FLAIR MRI.
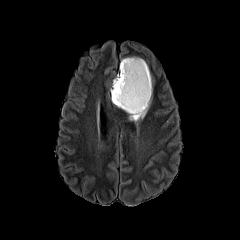
T1-weighted magnetic resonance.
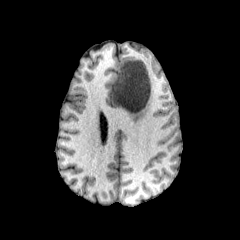
Post-contrast T1-weighted MR image.
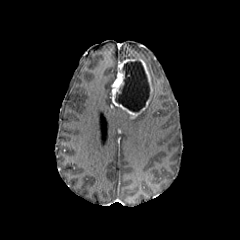
T2-weighted MR image.
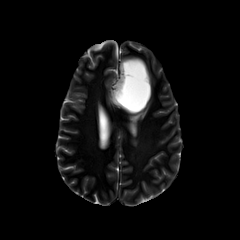
Head | Axial view
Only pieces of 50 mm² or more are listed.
The largest peritumoral edema region is at bbox(128, 92, 152, 125). The necrotic tumor core lies within bbox(115, 60, 149, 112). The enhancing tumor appears at bbox(111, 59, 152, 118).